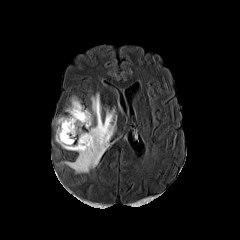
FLAIR MRI.
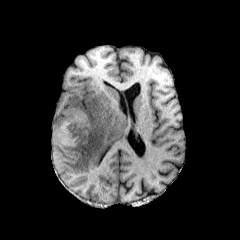
T1-weighted MRI of the same slice.
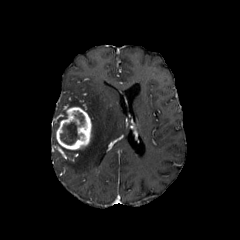
Post-contrast T1-weighted magnetic resonance of the same slice.
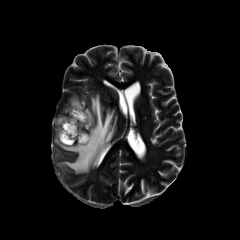
Same slice, T2-weighted MR.
240x240; Axial slice
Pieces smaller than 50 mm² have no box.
The 2 largest necrotic tumor core regions are located at (74, 113, 84, 123), (60, 122, 79, 144). The enhancing tumor is bounded by (56, 106, 91, 150). The 2 largest peritumoral edema regions are bounded by (57, 93, 116, 173), (70, 97, 83, 108).